FLAIR magnetic resonance.
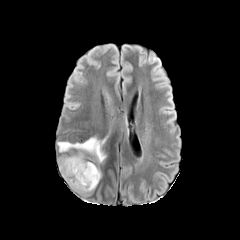
T1-weighted MR image.
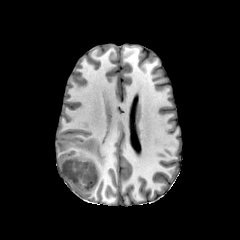
Post-contrast T1-weighted MRI.
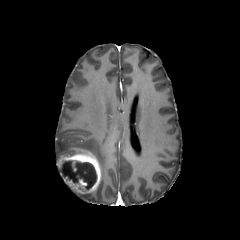
T2-weighted MR image.
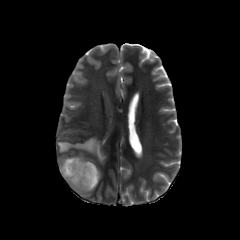
Brain | Axial view | 240x240 px
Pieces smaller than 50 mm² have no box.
necrotic tumor core at 59, 161, 96, 189
enhancing tumor at 57, 151, 100, 193
peritumoral edema at 57, 137, 106, 164